Axial slice.
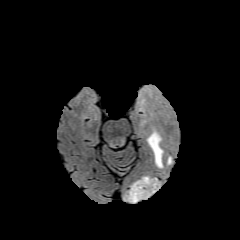
FLAIR MR image.
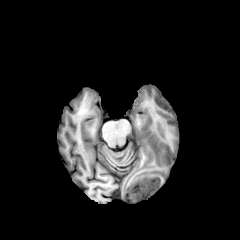
T1-weighted MRI.
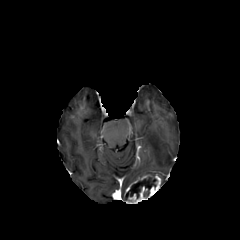
Post-contrast T1-weighted magnetic resonance of the same slice.
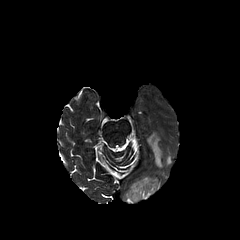
T2-weighted magnetic resonance of the same slice.
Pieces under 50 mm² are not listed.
peritumoral edema: {"x1": 147, "y1": 131, "x2": 163, "y2": 168}
necrotic tumor core: {"x1": 125, "y1": 176, "x2": 156, "y2": 199}
enhancing tumor: {"x1": 125, "y1": 175, "x2": 161, "y2": 203}, {"x1": 125, "y1": 175, "x2": 150, "y2": 194}